240x240 px | Image width 240 mm | Axial view | Head
FLAIR MR.
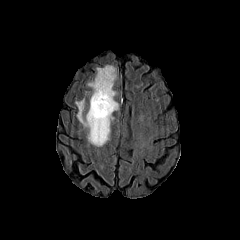
T1-weighted MRI.
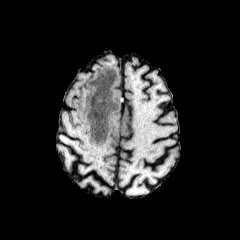
Post-contrast T1-weighted MR.
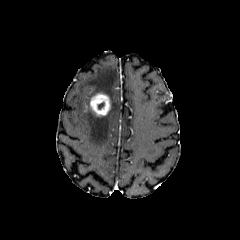
T2-weighted magnetic resonance.
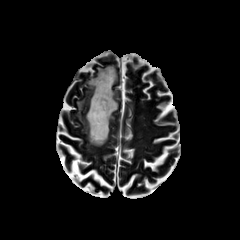
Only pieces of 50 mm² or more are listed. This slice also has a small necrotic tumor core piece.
enhancing tumor = left=89, top=92, right=110, bottom=116
peritumoral edema = left=76, top=65, right=118, bottom=146